FLAIR MR image.
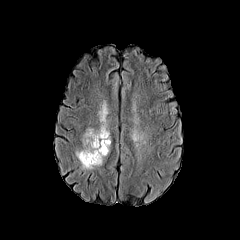
T1-weighted magnetic resonance.
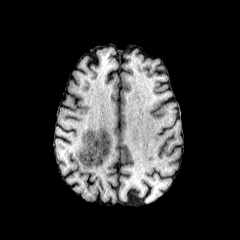
Post-contrast T1-weighted MR.
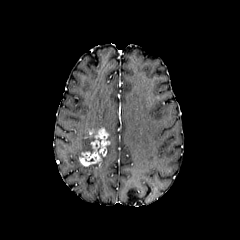
T2-weighted MRI.
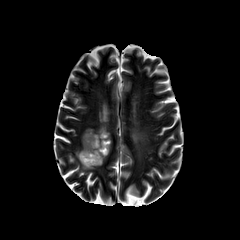
Brain
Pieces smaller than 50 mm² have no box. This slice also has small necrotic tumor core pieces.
Annotated regions:
• enhancing tumor: x1=79 y1=128 x2=110 y2=166
• peritumoral edema: x1=82 y1=156 x2=105 y2=170, x1=128 y1=128 x2=142 y2=142, x1=76 y1=127 x2=94 y2=157, x1=98 y1=100 x2=111 y2=141